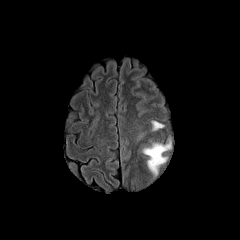
FLAIR MR image.
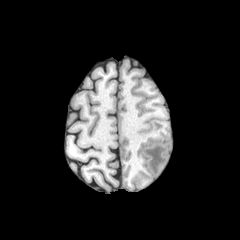
T1-weighted MR of the same slice.
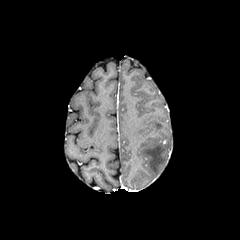
Post-contrast T1-weighted MR image.
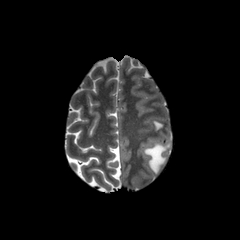
T2-weighted magnetic resonance.
240x240 px.
{"peritumoral_edema": ["x1=152, y1=121, x2=163, y2=129", "x1=143, y1=142, x2=170, y2=174"]}